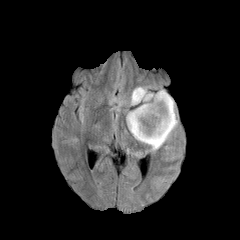
FLAIR magnetic resonance.
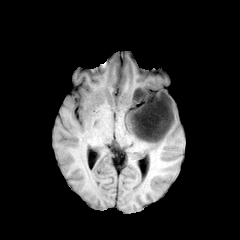
T1-weighted MRI of the same slice.
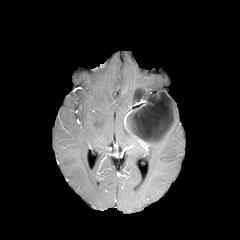
Same slice, post-contrast T1-weighted MRI.
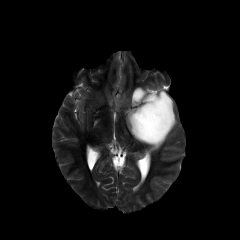
T2-weighted MR.
Brain
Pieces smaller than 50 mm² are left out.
<segmentation>
  <enhancing_tumor><bbox>131, 92, 173, 141</bbox>, <bbox>135, 93, 152, 101</bbox></enhancing_tumor>
  <necrotic_tumor_core><bbox>133, 95, 172, 140</bbox>, <bbox>136, 92, 150, 99</bbox></necrotic_tumor_core>
  <peritumoral_edema><bbox>130, 87, 153, 105</bbox>, <bbox>126, 89, 177, 151</bbox></peritumoral_edema>
</segmentation>